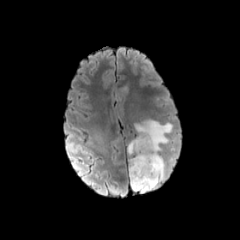
FLAIR MR image.
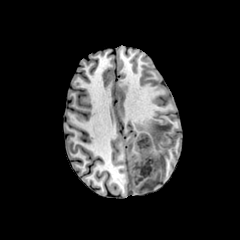
T1-weighted MR.
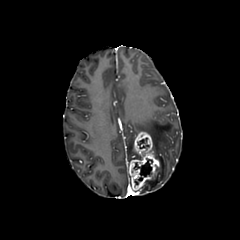
Same slice, post-contrast T1-weighted MRI.
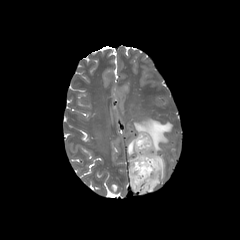
T2-weighted magnetic resonance of the same slice.
Brain. Axial plane.
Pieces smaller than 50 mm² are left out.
The enhancing tumor lies within (129, 131, 159, 190). 2 necrotic tumor core regions are located at (138, 138, 149, 148), (133, 158, 152, 185). The 2 largest peritumoral edema regions appear at (134, 119, 172, 192), (128, 139, 135, 154).